240x240 px, Brain
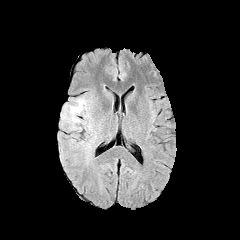
FLAIR MRI.
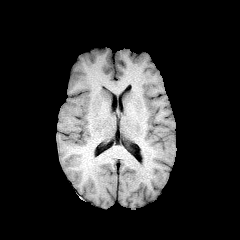
T1-weighted MR image.
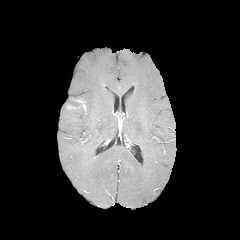
Post-contrast T1-weighted MRI.
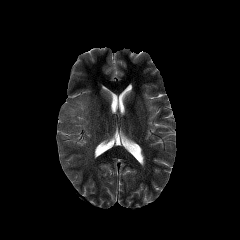
T2-weighted MR image.
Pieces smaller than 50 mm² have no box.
Segmented structures:
* peritumoral edema: bbox(61, 96, 92, 131); bbox(77, 141, 91, 152)